FLAIR MR image.
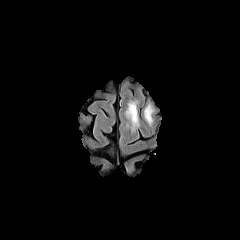
T1-weighted MR image.
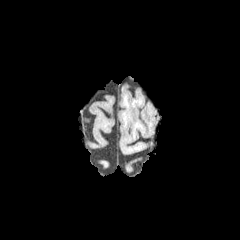
Post-contrast T1-weighted MR image.
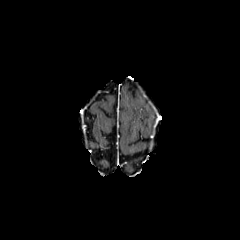
T2-weighted MR image.
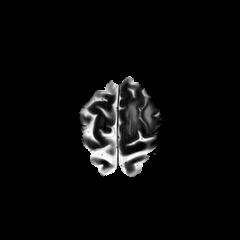
Axial plane
peritumoral edema = x1=144 y1=105 x2=152 y2=124, x1=126 y1=102 x2=138 y2=129